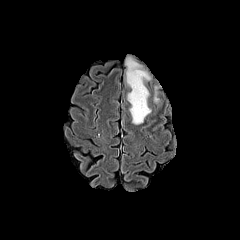
FLAIR magnetic resonance.
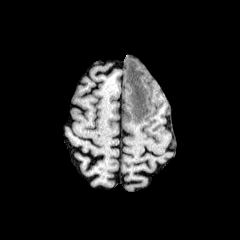
Same slice, T1-weighted MR.
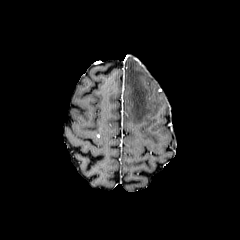
Same slice, post-contrast T1-weighted MR image.
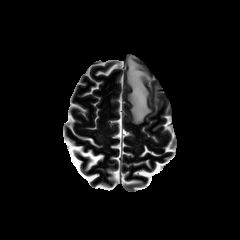
T2-weighted magnetic resonance.
Image size 240x240. Head. Axial plane.
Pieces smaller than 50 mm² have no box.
peritumoral edema: bbox=[126, 58, 151, 124]